Axial plane
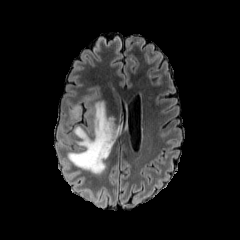
FLAIR MRI.
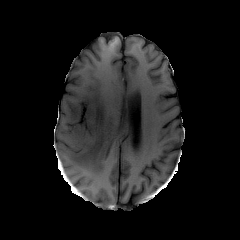
Same slice, T1-weighted MRI.
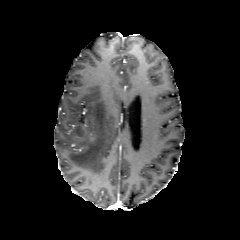
Post-contrast T1-weighted magnetic resonance.
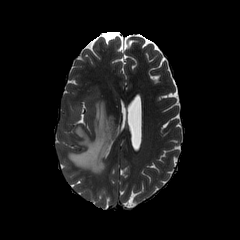
Same slice, T2-weighted MR image.
2 peritumoral edema regions appear at [67,101,123,174], [70,106,80,118].